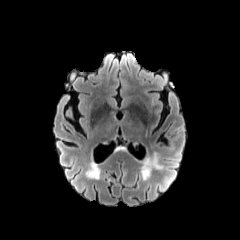
FLAIR MR.
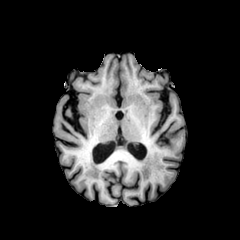
T1-weighted MRI.
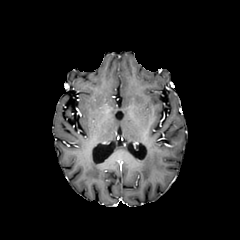
Post-contrast T1-weighted magnetic resonance of the same slice.
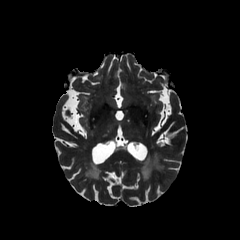
T2-weighted MR of the same slice.
240x240 px | Head
peritumoral edema: (left=141, top=151, right=164, bottom=180)